Axial slice.
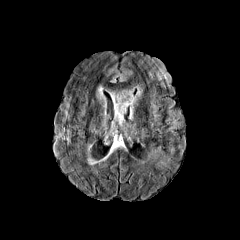
FLAIR MR image.
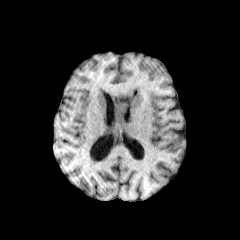
T1-weighted magnetic resonance.
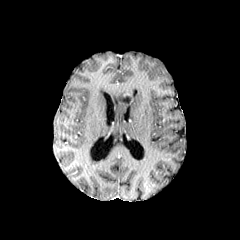
Post-contrast T1-weighted MRI.
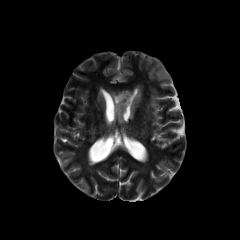
T2-weighted MR.
The enhancing tumor is at 118 92 133 105. The necrotic tumor core is located at 119 95 130 103. 3 peritumoral edema regions are bounded by 108 85 142 125, 111 69 132 82, 96 84 103 98.